Head | Image covers 240 mm x 240 mm | Axial slice | Slice 81 of 155
FLAIR MR image.
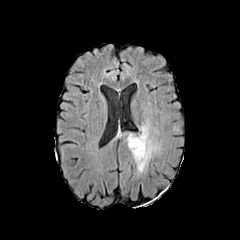
T1-weighted MR.
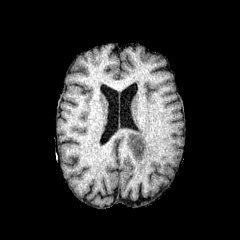
Post-contrast T1-weighted MR image.
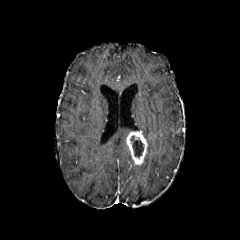
T2-weighted MR.
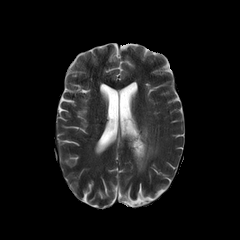
The peritumoral edema is at (x1=136, y1=125, x2=158, y2=172). The enhancing tumor is at (x1=126, y1=131, x2=147, y2=165). The necrotic tumor core appears at (x1=131, y1=136, x2=143, y2=157).